FLAIR MR.
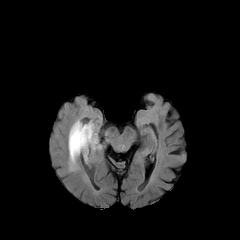
T1-weighted MRI.
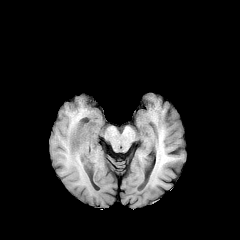
Post-contrast T1-weighted MRI.
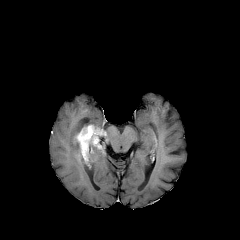
T2-weighted magnetic resonance.
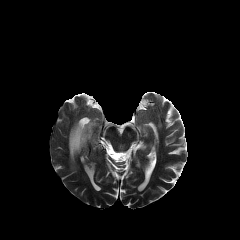
Image size 240x240.
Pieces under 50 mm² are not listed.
• peritumoral edema: (left=68, top=120, right=99, bottom=169)
• enhancing tumor: (left=75, top=125, right=103, bottom=149)